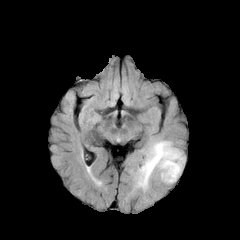
FLAIR MR image.
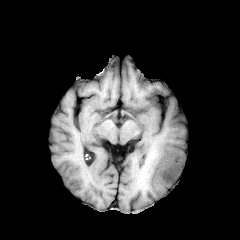
Same slice, T1-weighted MR image.
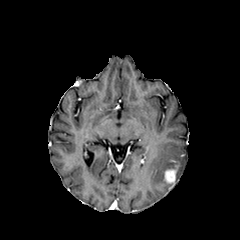
Post-contrast T1-weighted MR of the same slice.
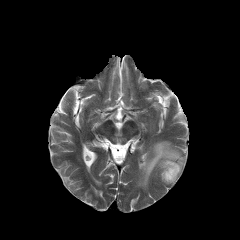
T2-weighted MRI of the same slice.
240x240
enhancing tumor at bbox=[164, 165, 178, 183]
peritumoral edema at bbox=[138, 141, 184, 189]